FLAIR MR.
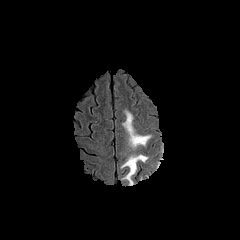
T1-weighted MRI.
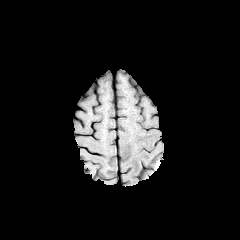
Post-contrast T1-weighted magnetic resonance.
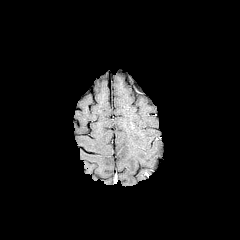
T2-weighted MR image.
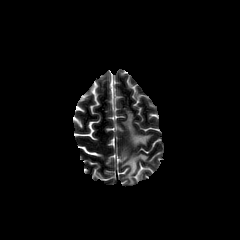
240x240 px | Axial plane
peritumoral edema: bbox(121, 110, 151, 185)